FLAIR MR.
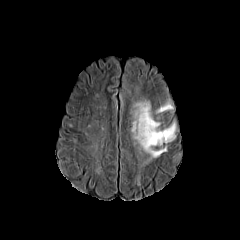
T1-weighted MR.
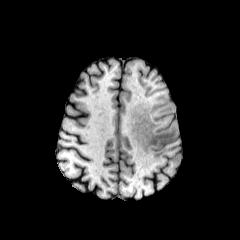
Post-contrast T1-weighted MRI.
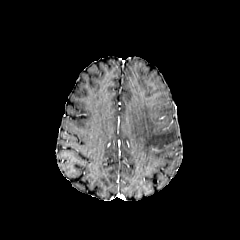
T2-weighted MRI.
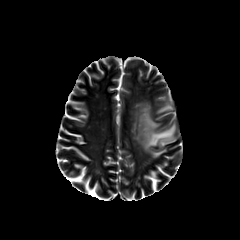
240x240. Head. Axial view.
2 peritumoral edema regions are located at 131, 100, 176, 157; 156, 102, 173, 113.